Head
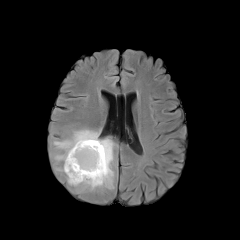
FLAIR MR image.
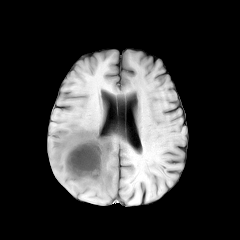
T1-weighted MRI of the same slice.
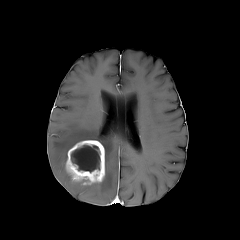
Same slice, post-contrast T1-weighted MRI.
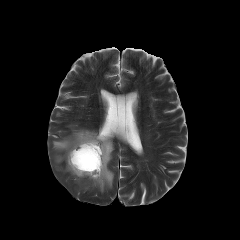
T2-weighted MR.
necrotic_tumor_core:
  - rect(71, 145, 100, 172)
enhancing_tumor:
  - rect(65, 140, 105, 184)
peritumoral_edema:
  - rect(53, 129, 114, 190)